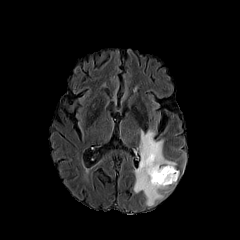
FLAIR magnetic resonance.
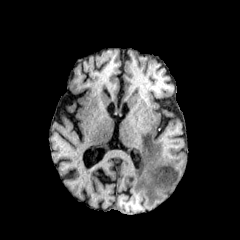
T1-weighted magnetic resonance.
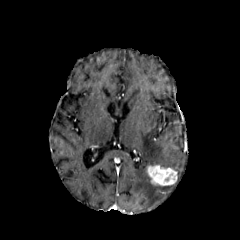
Post-contrast T1-weighted magnetic resonance of the same slice.
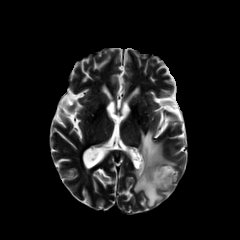
T2-weighted MR of the same slice.
Brain
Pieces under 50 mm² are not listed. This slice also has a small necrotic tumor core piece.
enhancing_tumor:
  - 146:164:177:185
peritumoral_edema:
  - 134:130:176:206